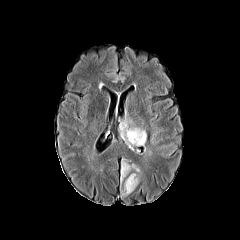
FLAIR magnetic resonance.
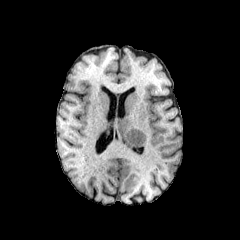
T1-weighted magnetic resonance.
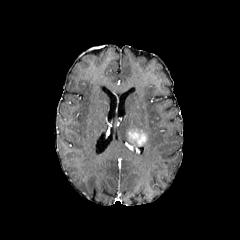
Post-contrast T1-weighted MR image.
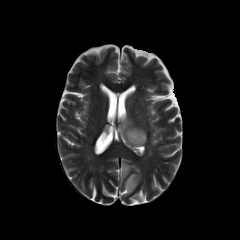
Same slice, T2-weighted MR image.
Brain. 240x240.
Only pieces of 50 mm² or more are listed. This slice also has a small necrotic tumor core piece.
{
  "enhancing_tumor": [
    "<bbox>127, 129, 146, 147</bbox>"
  ],
  "peritumoral_edema": [
    "<bbox>120, 159, 140, 182</bbox>",
    "<bbox>122, 173, 138, 197</bbox>",
    "<bbox>118, 118, 145, 145</bbox>"
  ]
}